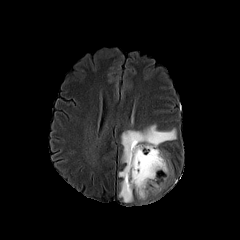
FLAIR MR image.
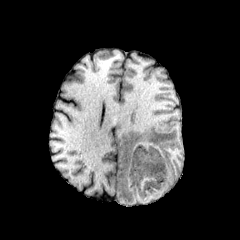
T1-weighted MRI.
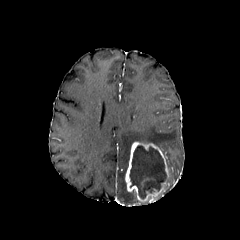
Post-contrast T1-weighted MRI.
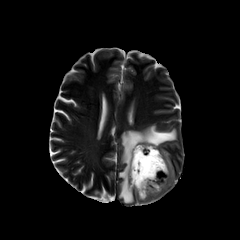
T2-weighted magnetic resonance.
Axial plane, Head
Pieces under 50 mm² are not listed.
peritumoral edema = (left=119, top=124, right=176, bottom=202)
necrotic tumor core = (left=130, top=145, right=166, bottom=198)
enhancing tumor = (left=125, top=141, right=171, bottom=202)